Brain; Slice index 114
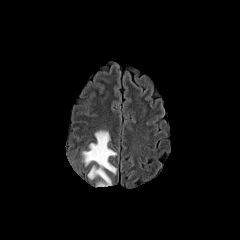
FLAIR MR image.
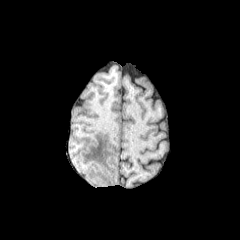
T1-weighted MR image.
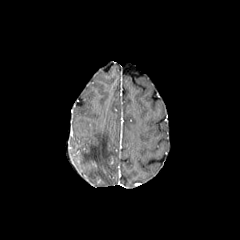
Post-contrast T1-weighted magnetic resonance.
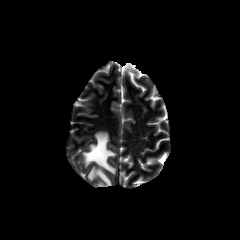
T2-weighted MR.
peritumoral edema: (x1=82, y1=130, x2=116, y2=186)